Head. Axial plane.
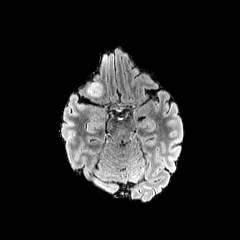
FLAIR MRI.
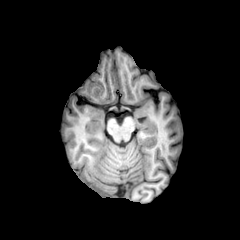
T1-weighted magnetic resonance of the same slice.
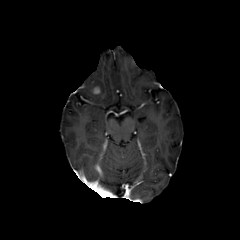
Post-contrast T1-weighted MR of the same slice.
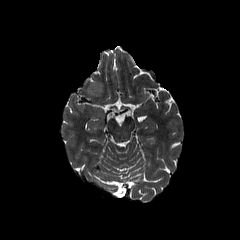
T2-weighted magnetic resonance.
enhancing tumor: (x1=91, y1=86, x2=100, y2=94)
peritumoral edema: (x1=87, y1=81, x2=103, y2=96)